FLAIR MR image.
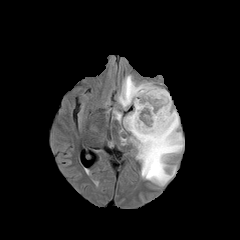
T1-weighted magnetic resonance.
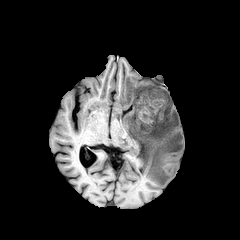
Post-contrast T1-weighted MR.
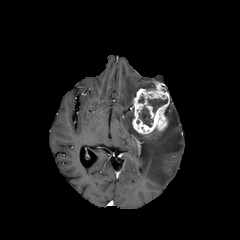
T2-weighted MR image.
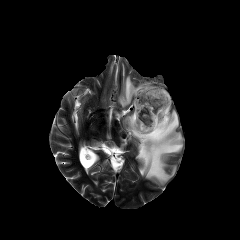
Axial slice; Brain
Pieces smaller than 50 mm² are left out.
enhancing_tumor:
  - box=[132, 83, 170, 134]
peritumoral_edema:
  - box=[118, 75, 152, 107]
  - box=[123, 102, 183, 185]
  - box=[114, 111, 121, 121]
necrotic_tumor_core:
  - box=[139, 107, 152, 126]
  - box=[148, 99, 167, 112]